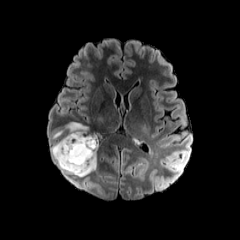
FLAIR magnetic resonance.
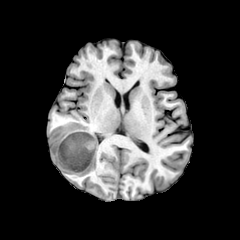
T1-weighted magnetic resonance of the same slice.
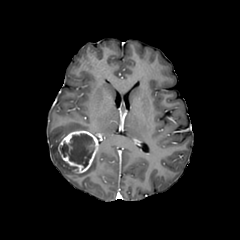
Post-contrast T1-weighted MRI.
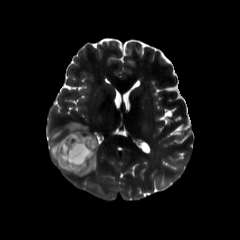
T2-weighted MR.
Brain; 240x240 px
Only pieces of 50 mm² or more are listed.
{"necrotic_tumor_core": ["<bbox>60, 133, 94, 167</bbox>"], "peritumoral_edema": ["<bbox>51, 139, 96, 176</bbox>", "<bbox>51, 122, 88, 140</bbox>"], "enhancing_tumor": ["<bbox>58, 130, 98, 172</bbox>"]}